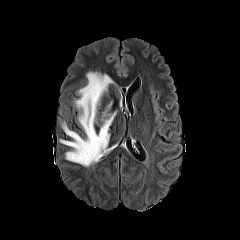
FLAIR MR image.
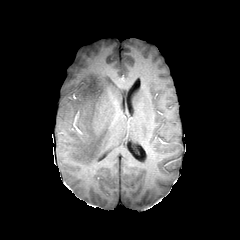
T1-weighted MR.
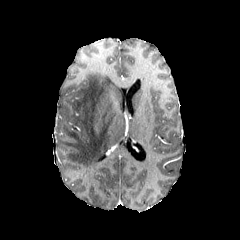
Same slice, post-contrast T1-weighted magnetic resonance.
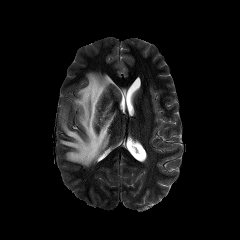
T2-weighted MRI of the same slice.
Axial view; Brain
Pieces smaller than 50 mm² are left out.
<segmentation>
  <peritumoral_edema>(60, 72, 116, 167)</peritumoral_edema>
</segmentation>